Axial plane, Brain, Image width 240 mm, 1.00 mm slice spacing
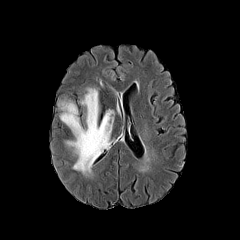
FLAIR MR image.
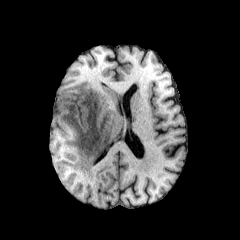
Same slice, T1-weighted MR.
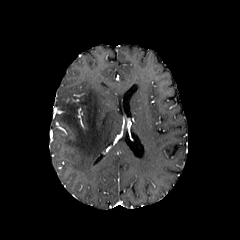
Post-contrast T1-weighted MR image of the same slice.
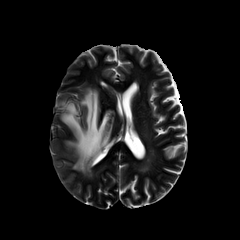
T2-weighted magnetic resonance.
The peritumoral edema lies within (left=60, top=88, right=113, bottom=172).